240x240 px. Image width 240 mm, 1.00 mm slice spacing.
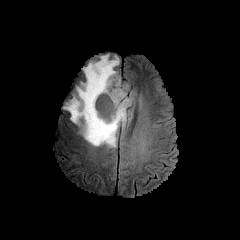
FLAIR magnetic resonance.
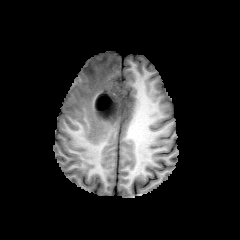
T1-weighted magnetic resonance of the same slice.
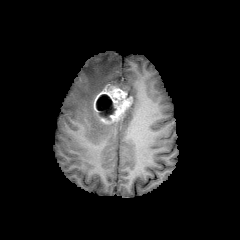
Post-contrast T1-weighted MR of the same slice.
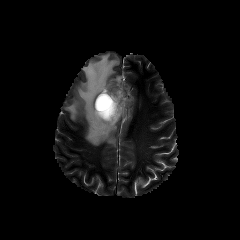
T2-weighted MRI of the same slice.
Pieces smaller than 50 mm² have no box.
peritumoral edema: bounding box l=63, t=54, r=131, b=147
necrotic tumor core: bounding box l=96, t=94, r=115, b=119
enhancing tumor: bounding box l=93, t=84, r=132, b=123